Image width 240 mm; Slice index 67; Axial slice
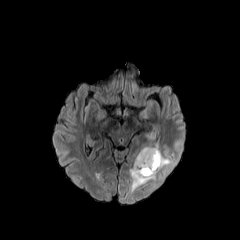
FLAIR MR image.
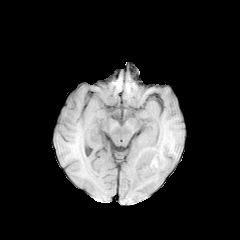
T1-weighted MR of the same slice.
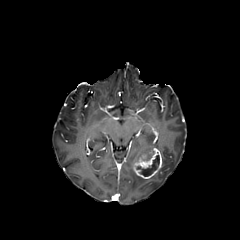
Same slice, post-contrast T1-weighted magnetic resonance.
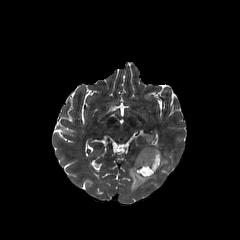
Same slice, T2-weighted MR image.
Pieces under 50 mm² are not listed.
The enhancing tumor lies within <box>133,148,162,179</box>. 2 peritumoral edema regions appear at <box>134,146,159,162</box>, <box>129,150,175,191</box>. The largest necrotic tumor core region is bounded by <box>140,155,159,176</box>.